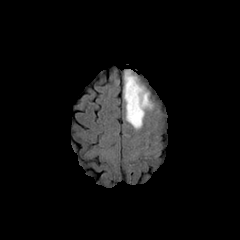
FLAIR MR image.
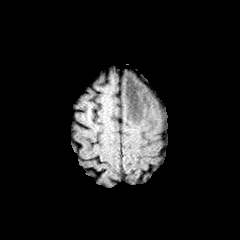
T1-weighted MR image.
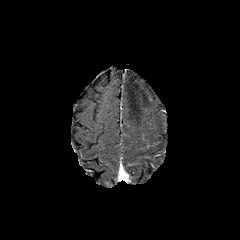
Same slice, post-contrast T1-weighted MR.
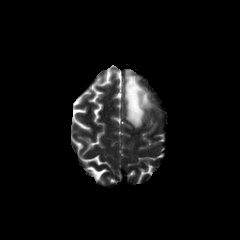
T2-weighted MR.
Brain
peritumoral edema: [x1=124, y1=70, x2=151, y2=128]